Axial plane
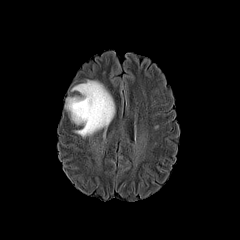
FLAIR magnetic resonance.
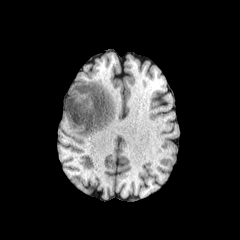
Same slice, T1-weighted magnetic resonance.
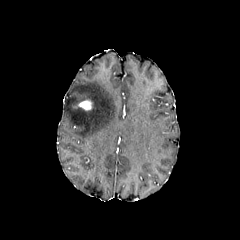
Post-contrast T1-weighted MR image of the same slice.
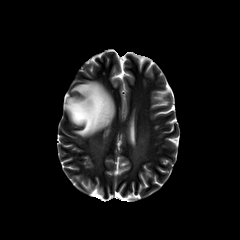
T2-weighted magnetic resonance.
<segmentation>
  <enhancing_tumor>x1=75 y1=100 x2=92 y2=110</enhancing_tumor>
  <peritumoral_edema>x1=65 y1=80 x2=115 y2=137</peritumoral_edema>
</segmentation>